Slice 58/155. Brain. Axial plane. Image width 240 mm, 1.00 mm slice spacing.
FLAIR MRI.
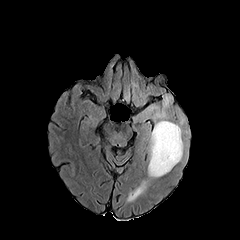
T1-weighted MR image.
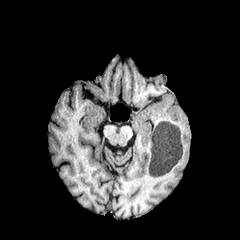
Post-contrast T1-weighted magnetic resonance.
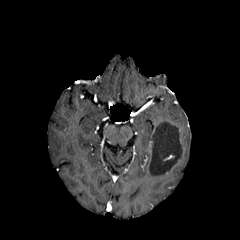
T2-weighted magnetic resonance.
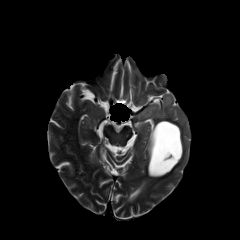
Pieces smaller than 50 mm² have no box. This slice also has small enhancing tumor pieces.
peritumoral edema: x1=147 y1=130 x2=166 y2=177, x1=167 y1=124 x2=184 y2=172, x1=145 y1=95 x2=172 y2=129
necrotic tumor core: x1=150 y1=122 x2=181 y2=174